Head.
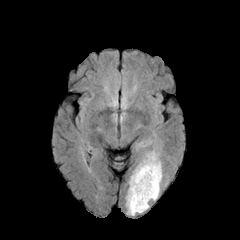
FLAIR MR.
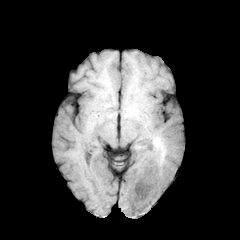
T1-weighted MRI.
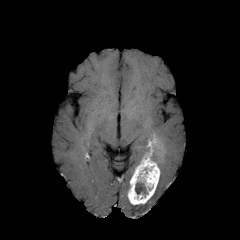
Same slice, post-contrast T1-weighted magnetic resonance.
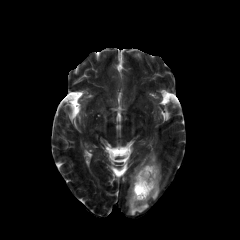
T2-weighted MR image.
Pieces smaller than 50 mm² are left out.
<segmentation>
  <necrotic_tumor_core>(135, 183, 145, 194)</necrotic_tumor_core>
  <peritumoral_edema>(126, 196, 148, 215), (149, 151, 162, 200)</peritumoral_edema>
  <enhancing_tumor>(127, 151, 159, 204)</enhancing_tumor>
</segmentation>